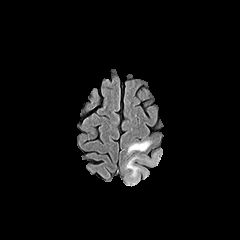
FLAIR magnetic resonance.
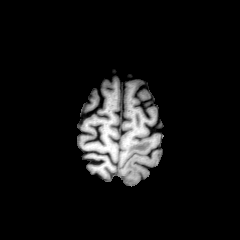
T1-weighted magnetic resonance.
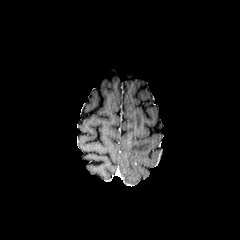
Post-contrast T1-weighted MRI.
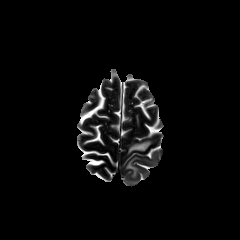
Same slice, T2-weighted magnetic resonance.
Axial slice; 240x240
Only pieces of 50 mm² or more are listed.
peritumoral edema: <bbox>128, 140, 152, 153</bbox>, <bbox>126, 156, 138, 177</bbox>